FLAIR magnetic resonance.
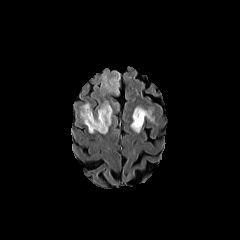
T1-weighted MR.
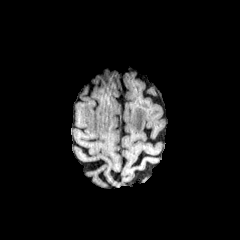
Post-contrast T1-weighted MR image.
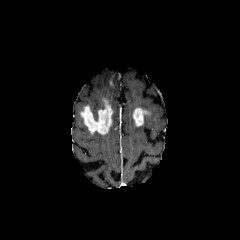
T2-weighted MR.
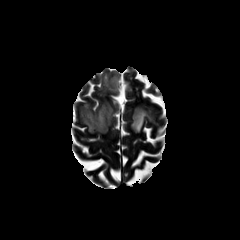
Head | Axial view | 240x240 px
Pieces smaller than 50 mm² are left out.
2 enhancing tumor regions appear at (80, 98, 112, 134), (132, 107, 149, 126). The 3 largest peritumoral edema regions are located at (144, 108, 154, 123), (130, 119, 142, 133), (100, 71, 119, 95).